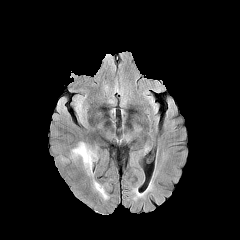
FLAIR magnetic resonance.
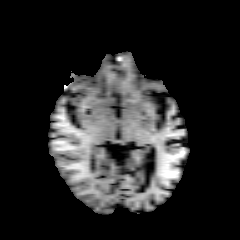
T1-weighted MRI of the same slice.
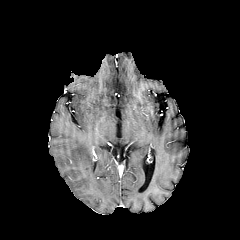
Post-contrast T1-weighted MRI.
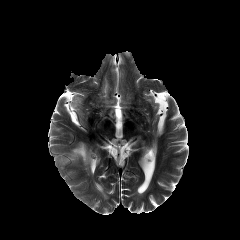
T2-weighted MRI.
Axial slice
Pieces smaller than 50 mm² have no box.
peritumoral edema at x1=71, y1=142, x2=93, y2=174